FLAIR magnetic resonance.
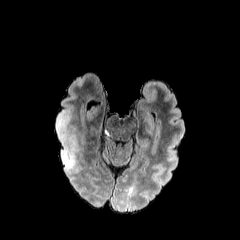
T1-weighted magnetic resonance.
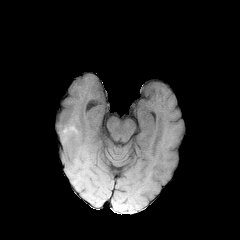
Post-contrast T1-weighted magnetic resonance.
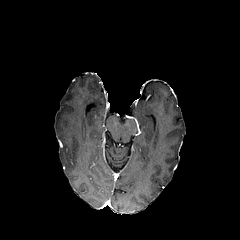
T2-weighted magnetic resonance.
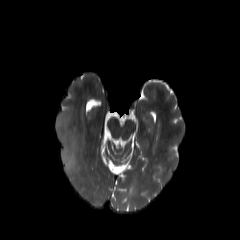
Axial view. Brain.
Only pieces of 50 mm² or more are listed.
{"peritumoral_edema": ["region(58, 119, 77, 174)"]}